FLAIR MRI.
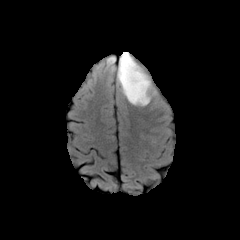
T1-weighted MRI.
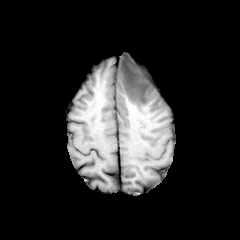
Post-contrast T1-weighted MR.
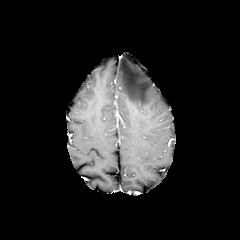
T2-weighted MR.
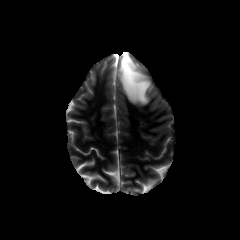
Axial plane
peritumoral_edema:
  - l=117, t=52, r=156, b=105